Axial plane. 240x240. Brain.
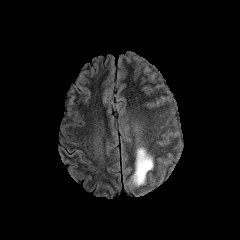
FLAIR MR image.
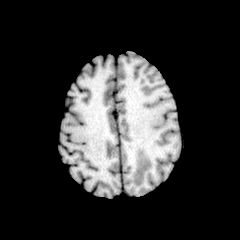
T1-weighted MRI of the same slice.
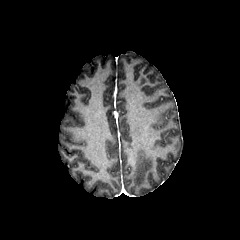
Post-contrast T1-weighted MRI.
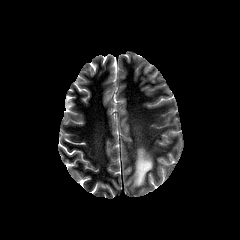
T2-weighted magnetic resonance of the same slice.
The peritumoral edema appears at [x1=132, y1=148, x2=153, y2=185].